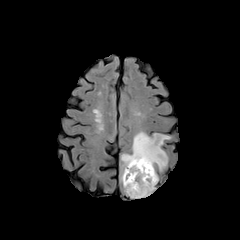
FLAIR MRI.
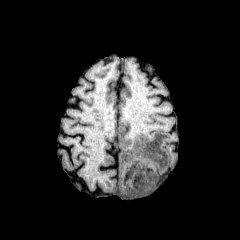
T1-weighted MR image.
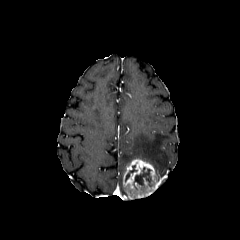
Post-contrast T1-weighted MRI.
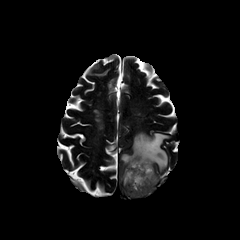
Same slice, T2-weighted MRI.
240x240 px
necrotic tumor core at (left=134, top=167, right=151, bottom=186), (left=125, top=165, right=137, bottom=181)
enhancing tumor at (left=123, top=158, right=157, bottom=198)
peritumoral edema at (left=120, top=131, right=170, bottom=182)